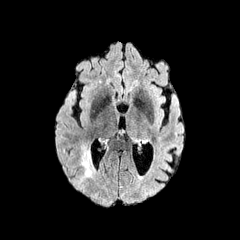
FLAIR MR image.
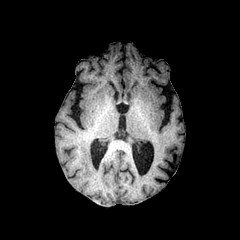
T1-weighted MR.
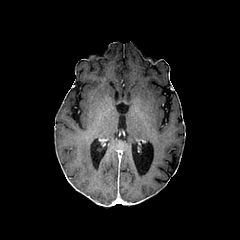
Post-contrast T1-weighted magnetic resonance of the same slice.
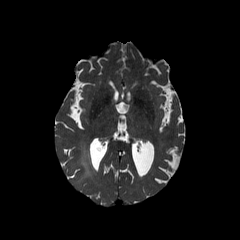
T2-weighted MR.
Axial slice. Head.
peritumoral edema — rect(80, 145, 94, 181)